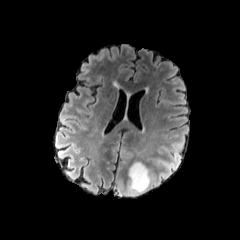
FLAIR MRI.
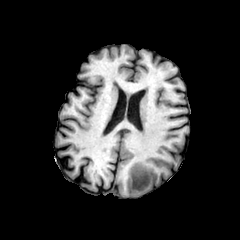
T1-weighted MR.
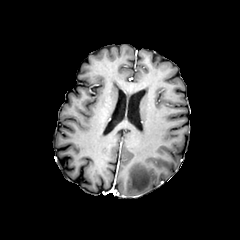
Same slice, post-contrast T1-weighted magnetic resonance.
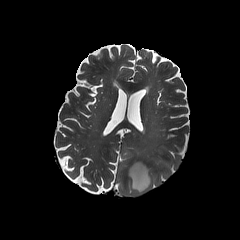
T2-weighted magnetic resonance of the same slice.
Axial plane.
peritumoral edema: (left=128, top=161, right=151, bottom=195)